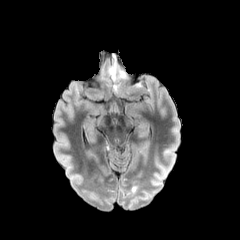
FLAIR MR image.
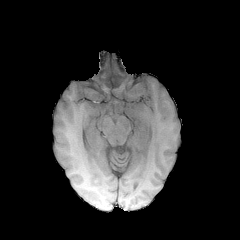
T1-weighted magnetic resonance.
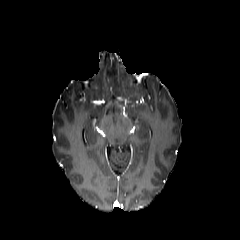
Same slice, post-contrast T1-weighted MR.
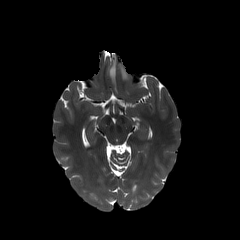
T2-weighted MR of the same slice.
Image size 240x240, Head
• peritumoral edema: <bbox>121, 67, 129, 79</bbox>, <bbox>110, 66, 115, 80</bbox>